Slice 103 of 155; Image width 240 mm
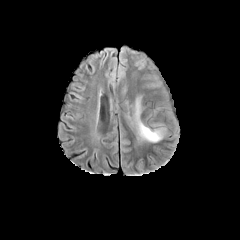
FLAIR MRI.
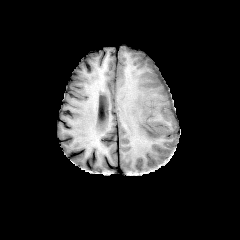
T1-weighted magnetic resonance.
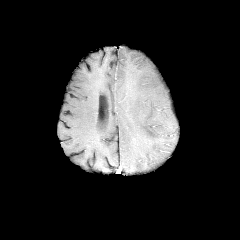
Same slice, post-contrast T1-weighted magnetic resonance.
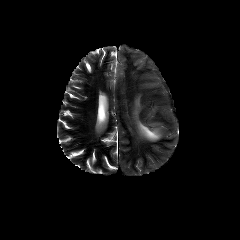
Same slice, T2-weighted MR.
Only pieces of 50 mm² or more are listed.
The largest peritumoral edema region lies within box=[134, 98, 163, 142].